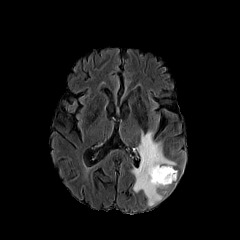
FLAIR MR image.
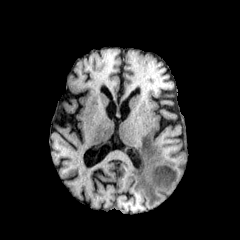
T1-weighted magnetic resonance.
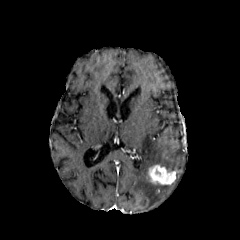
Post-contrast T1-weighted MRI.
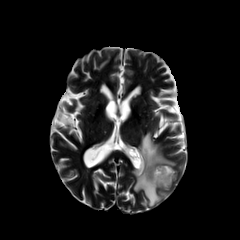
T2-weighted magnetic resonance.
Head. Axial plane. Image size 240x240.
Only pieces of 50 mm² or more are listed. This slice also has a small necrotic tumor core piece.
enhancing tumor at bbox=[147, 165, 176, 184]
peritumoral edema at bbox=[132, 131, 176, 206]